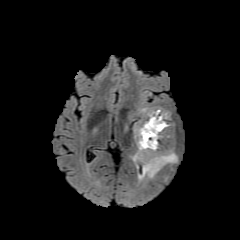
FLAIR magnetic resonance.
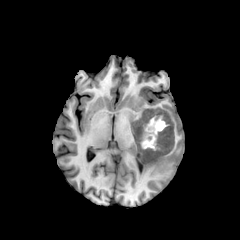
T1-weighted MR.
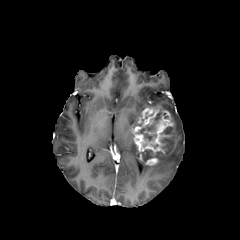
Post-contrast T1-weighted MRI of the same slice.
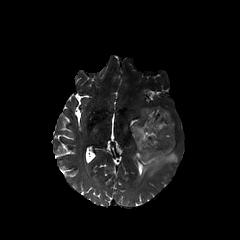
T2-weighted magnetic resonance.
Axial view | Brain
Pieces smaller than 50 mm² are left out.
The 3 largest necrotic tumor core regions are bounded by box=[140, 149, 161, 162]; box=[138, 109, 167, 141]; box=[161, 126, 172, 149]. The 2 largest peritumoral edema regions are located at box=[131, 148, 138, 161]; box=[138, 144, 178, 181]. The largest enhancing tumor region is at box=[132, 107, 173, 165].